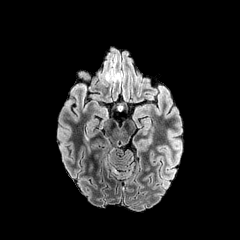
FLAIR MR image.
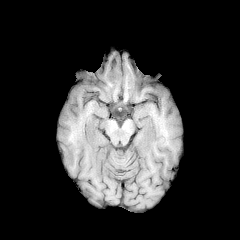
T1-weighted MR.
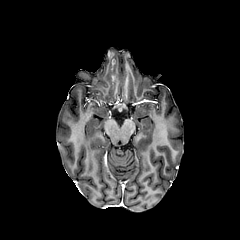
Post-contrast T1-weighted MR.
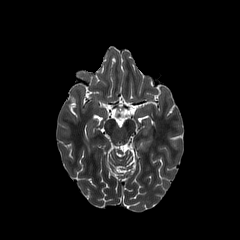
Same slice, T2-weighted magnetic resonance.
Head. Axial view.
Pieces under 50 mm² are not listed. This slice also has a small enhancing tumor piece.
2 peritumoral edema regions are located at bbox(84, 135, 90, 155); bbox(106, 73, 119, 82).